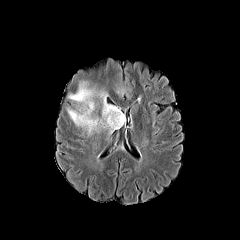
FLAIR magnetic resonance.
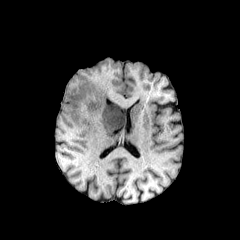
Same slice, T1-weighted MR image.
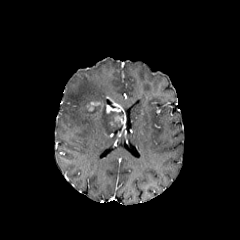
Post-contrast T1-weighted magnetic resonance.
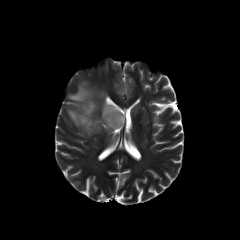
T2-weighted MR image.
Axial plane, Head
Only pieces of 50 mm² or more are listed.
peritumoral edema: box(67, 80, 122, 134) | enhancing tumor: box(86, 102, 99, 111); box(106, 105, 125, 126)